Axial plane; Slice 91 of 155
FLAIR MR.
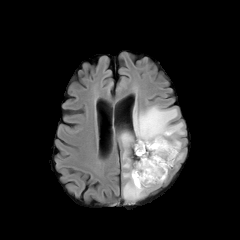
T1-weighted magnetic resonance.
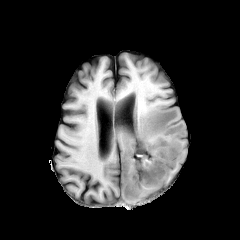
Post-contrast T1-weighted MR image.
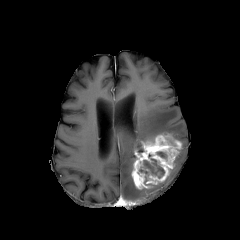
T2-weighted magnetic resonance.
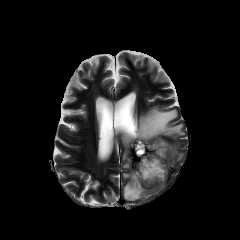
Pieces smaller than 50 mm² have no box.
The 3 largest peritumoral edema regions are bounded by region(120, 132, 157, 201); region(175, 152, 183, 164); region(133, 106, 184, 142). The largest necrotic tumor core region is at region(144, 159, 164, 177). The largest enhancing tumor region is bounded by region(131, 133, 181, 189).